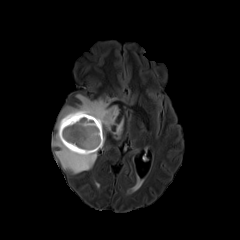
FLAIR MR.
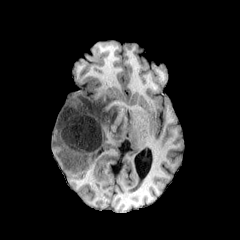
Same slice, T1-weighted magnetic resonance.
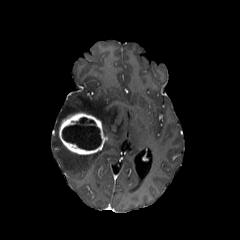
Post-contrast T1-weighted MR of the same slice.
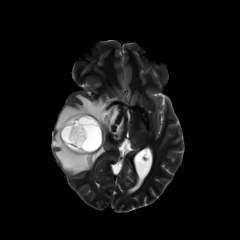
Same slice, T2-weighted MRI.
Image size 240x240. Brain.
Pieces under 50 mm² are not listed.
peritumoral edema: (left=52, top=94, right=123, bottom=174)
necrotic tumor core: (left=62, top=117, right=101, bottom=150)
enhancing tumor: (left=59, top=112, right=105, bottom=154)